FLAIR MRI.
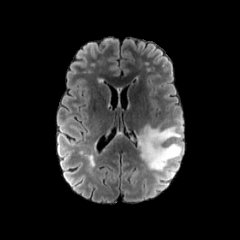
T1-weighted magnetic resonance.
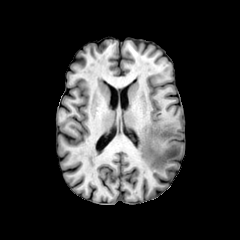
Post-contrast T1-weighted MR.
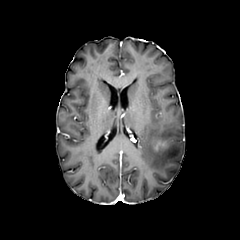
T2-weighted magnetic resonance.
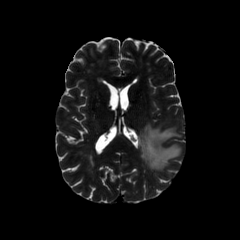
Head, 240x240
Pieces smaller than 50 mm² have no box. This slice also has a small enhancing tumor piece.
peritumoral_edema:
  - 137, 120, 183, 171